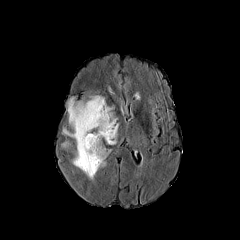
FLAIR MRI.
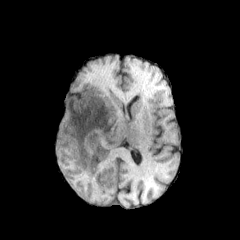
Same slice, T1-weighted MR.
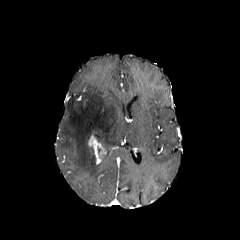
Post-contrast T1-weighted MR image.
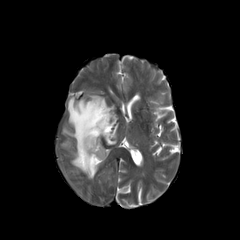
Same slice, T2-weighted MR image.
Image size 240x240. Axial slice.
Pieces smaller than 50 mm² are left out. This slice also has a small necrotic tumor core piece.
enhancing_tumor:
  - [x1=88, y1=135, x2=106, y2=163]
peritumoral_edema:
  - [x1=61, y1=140, x2=69, y2=148]
  - [x1=63, y1=95, x2=118, y2=181]